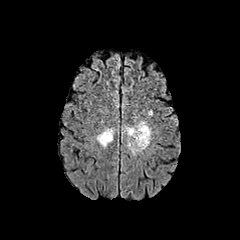
FLAIR MR image.
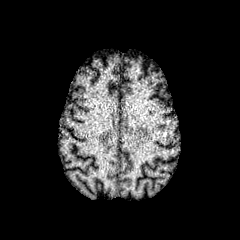
Same slice, T1-weighted MR image.
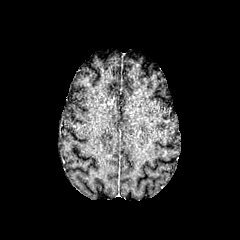
Post-contrast T1-weighted magnetic resonance.
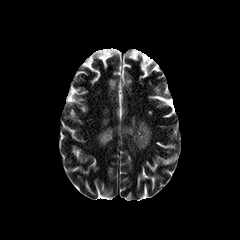
Same slice, T2-weighted MR.
Head, Axial view
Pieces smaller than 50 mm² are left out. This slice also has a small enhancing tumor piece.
peritumoral_edema:
  - (97,128,114,147)
  - (122,121,151,153)